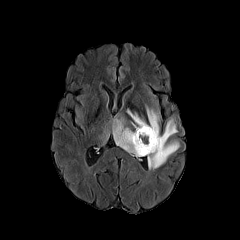
FLAIR MR image.
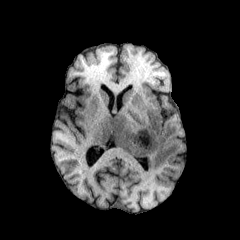
T1-weighted MR of the same slice.
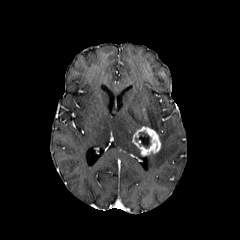
Post-contrast T1-weighted MRI.
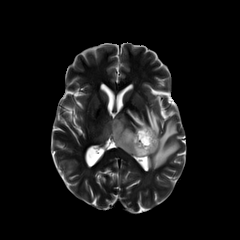
T2-weighted MR image.
peritumoral edema: [127, 106, 159, 134], [101, 129, 109, 141], [148, 119, 180, 169], [112, 117, 141, 156] | necrotic tumor core: [135, 132, 151, 148] | enhancing tumor: [132, 126, 161, 155]